Head. Slice 51 of 155. Image size 240x240.
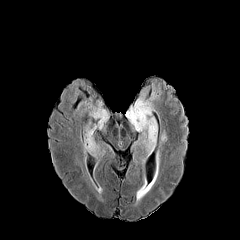
FLAIR MR.
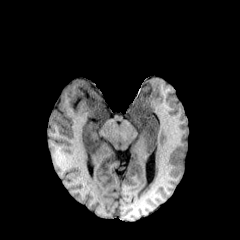
T1-weighted magnetic resonance.
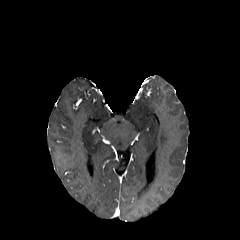
Post-contrast T1-weighted MR image.
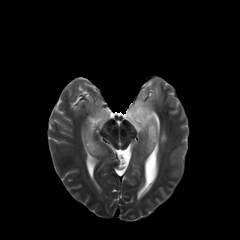
T2-weighted MRI of the same slice.
3 peritumoral edema regions are located at 83,109,109,149; 160,128,168,143; 126,93,157,154.